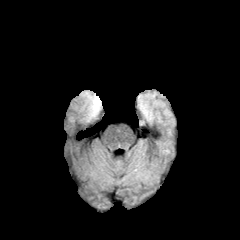
FLAIR magnetic resonance.
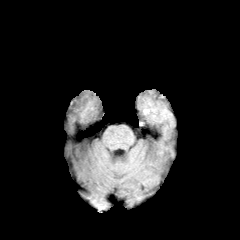
T1-weighted MR of the same slice.
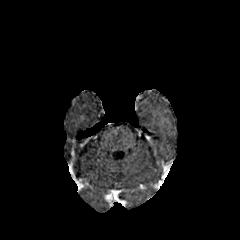
Post-contrast T1-weighted magnetic resonance.
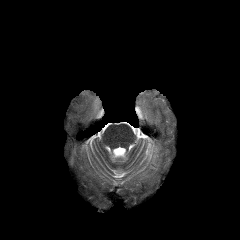
T2-weighted MR image.
Head, Axial slice
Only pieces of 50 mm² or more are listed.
{"peritumoral_edema": ["85,92,100,120"]}